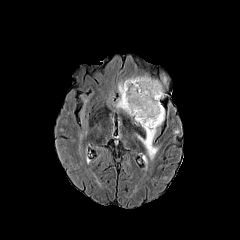
FLAIR MRI.
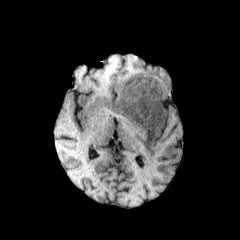
T1-weighted magnetic resonance.
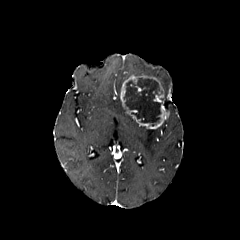
Post-contrast T1-weighted MR image.
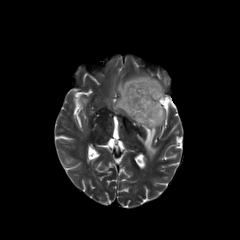
T2-weighted MR.
Image size 240x240. Head.
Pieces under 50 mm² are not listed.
<segmentation>
  <enhancing_tumor>rect(120, 75, 169, 129)</enhancing_tumor>
  <peritumoral_edema>rect(137, 127, 158, 159); rect(115, 98, 125, 112)</peritumoral_edema>
  <necrotic_tumor_core>rect(124, 78, 162, 125)</necrotic_tumor_core>
</segmentation>